FLAIR MR image.
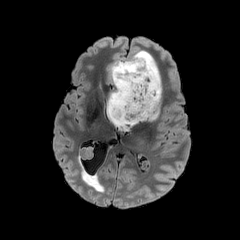
T1-weighted magnetic resonance.
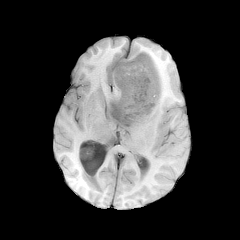
Post-contrast T1-weighted MRI.
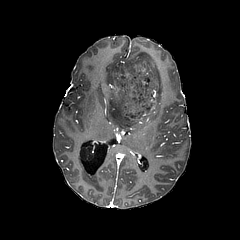
T2-weighted MR.
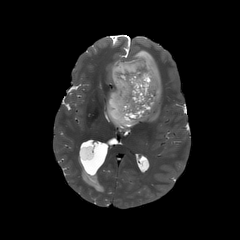
Axial view; 240x240 px
necrotic tumor core: bounding box bbox(110, 54, 158, 126)
peritumoral edema: bounding box bbox(149, 107, 158, 121); bbox(106, 50, 161, 130)